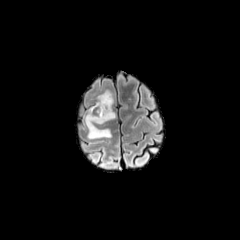
FLAIR MRI.
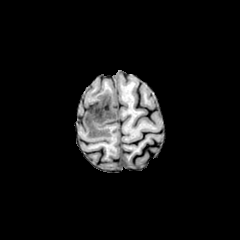
T1-weighted MRI of the same slice.
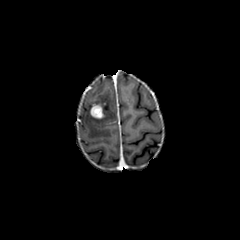
Post-contrast T1-weighted MRI of the same slice.
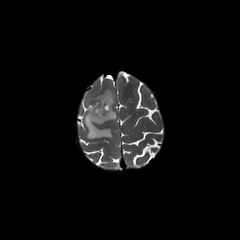
T2-weighted MR of the same slice.
Head.
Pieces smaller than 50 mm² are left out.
<segmentation>
  <enhancing_tumor><bbox>90, 103, 106, 119</bbox></enhancing_tumor>
  <peritumoral_edema><bbox>84, 89, 116, 138</bbox></peritumoral_edema>
</segmentation>